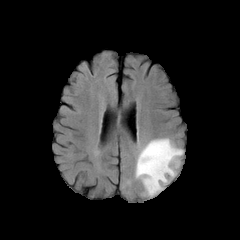
FLAIR MRI.
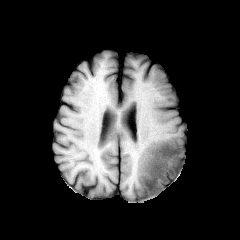
Same slice, T1-weighted MR image.
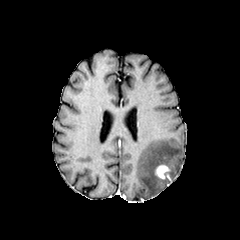
Post-contrast T1-weighted MRI.
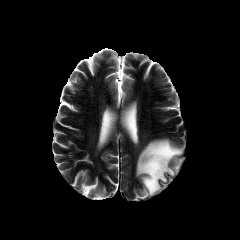
T2-weighted MR.
{"peritumoral_edema": ["135 138 183 196"], "enhancing_tumor": ["155 164 170 179"]}